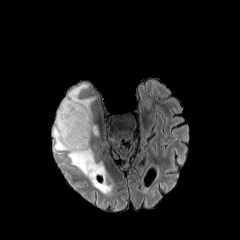
FLAIR MR.
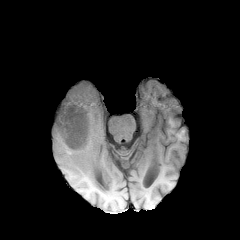
T1-weighted magnetic resonance.
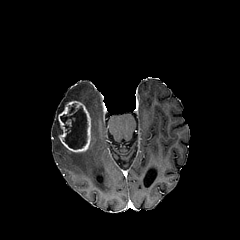
Post-contrast T1-weighted MR image of the same slice.
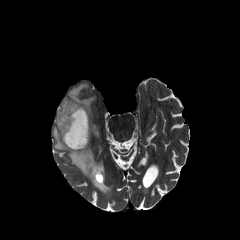
T2-weighted MR.
Head | 240x240
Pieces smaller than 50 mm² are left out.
The peritumoral edema appears at (left=53, top=83, right=111, bottom=193). 2 necrotic tumor core regions appear at (left=69, top=103, right=75, bottom=113), (left=60, top=106, right=87, bottom=149). The largest enhancing tumor region is at (left=58, top=101, right=91, bottom=152).